FLAIR MR.
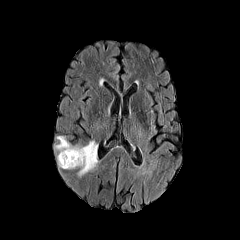
T1-weighted magnetic resonance.
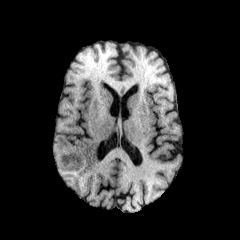
Post-contrast T1-weighted MR image.
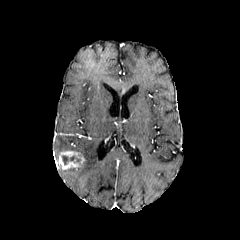
T2-weighted MRI.
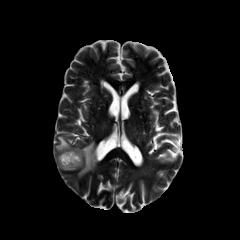
Image size 240x240
{
  "enhancing_tumor": [
    "<box>58,150,84,169</box>"
  ],
  "necrotic_tumor_core": [
    "<box>62,155,80,164</box>"
  ],
  "peritumoral_edema": [
    "<box>55,136,96,176</box>"
  ]
}